Brain
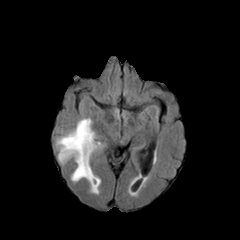
FLAIR MR image.
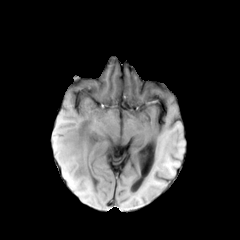
Same slice, T1-weighted MR.
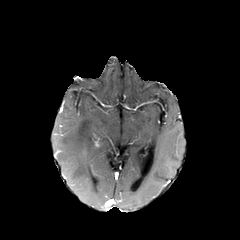
Post-contrast T1-weighted magnetic resonance.
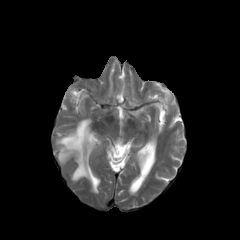
Same slice, T2-weighted MR image.
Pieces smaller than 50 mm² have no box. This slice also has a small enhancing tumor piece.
The peritumoral edema is bounded by left=57, top=118, right=100, bottom=193.